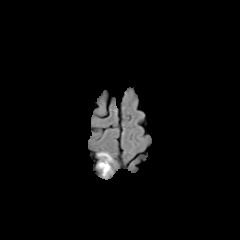
FLAIR MR.
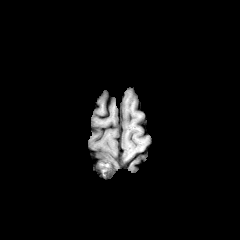
T1-weighted MRI.
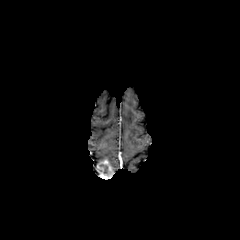
Post-contrast T1-weighted MR image.
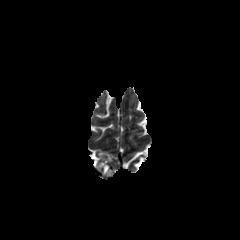
T2-weighted MR.
Axial plane | Brain
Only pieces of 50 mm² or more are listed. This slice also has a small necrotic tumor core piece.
• peritumoral edema: (left=98, top=152, right=112, bottom=163)
• enhancing tumor: (left=97, top=159, right=113, bottom=177)